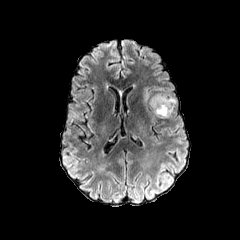
FLAIR MR image.
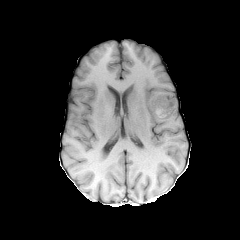
Same slice, T1-weighted MR.
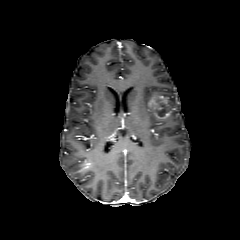
Post-contrast T1-weighted MR image.
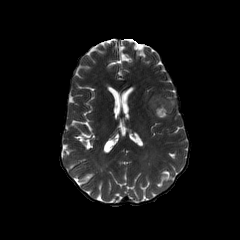
T2-weighted MR image.
Axial view.
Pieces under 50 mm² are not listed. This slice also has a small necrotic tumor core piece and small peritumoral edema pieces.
enhancing tumor — [x1=147, y1=95, x2=174, y2=118]